FLAIR MRI.
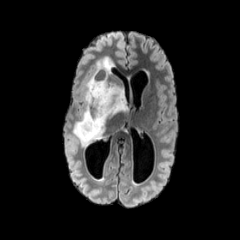
T1-weighted magnetic resonance.
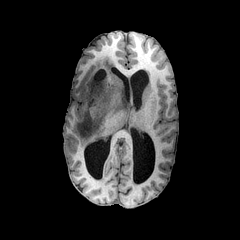
Post-contrast T1-weighted MRI.
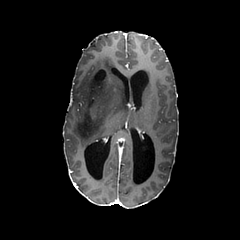
T2-weighted MR.
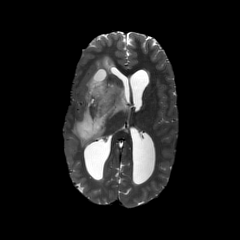
240x240 px
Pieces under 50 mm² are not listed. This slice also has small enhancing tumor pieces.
The necrotic tumor core appears at 95:70:105:80. The peritumoral edema lies within 73:56:128:147.